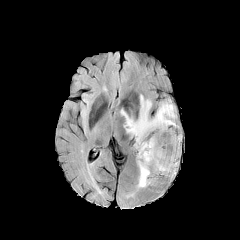
FLAIR magnetic resonance.
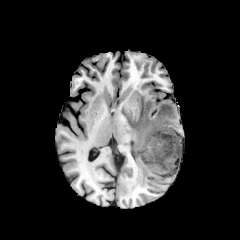
Same slice, T1-weighted MR.
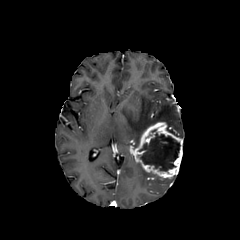
Post-contrast T1-weighted MR of the same slice.
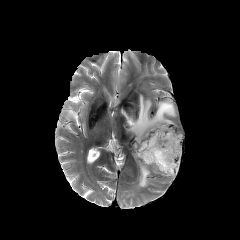
T2-weighted magnetic resonance.
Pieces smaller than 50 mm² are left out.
Segmented structures:
- peritumoral edema: rect(121, 95, 179, 148); rect(137, 163, 152, 187)
- enhancing tumor: rect(131, 122, 182, 178)
- necrotic tumor core: rect(139, 133, 180, 171)